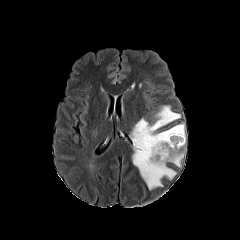
FLAIR MR.
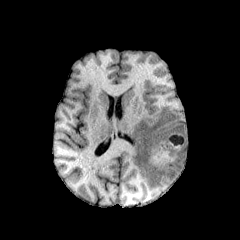
T1-weighted MR of the same slice.
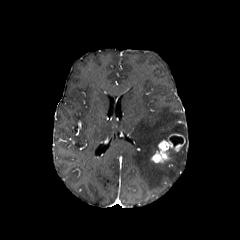
Post-contrast T1-weighted MR.
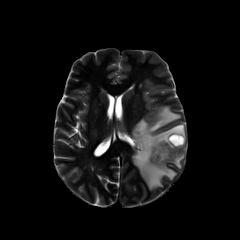
T2-weighted magnetic resonance.
Axial plane
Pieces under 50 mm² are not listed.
<segmentation>
  <necrotic_tumor_core>(left=169, top=136, right=183, bottom=146)</necrotic_tumor_core>
  <peritumoral_edema>(left=130, top=105, right=185, bottom=190)</peritumoral_edema>
  <enhancing_tumor>(left=151, top=133, right=185, bottom=163)</enhancing_tumor>
</segmentation>